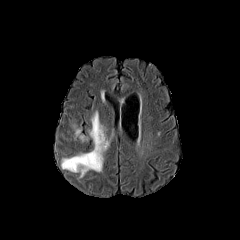
FLAIR MR.
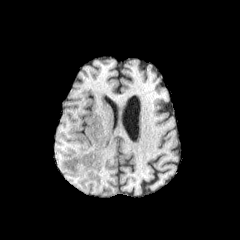
Same slice, T1-weighted MR.
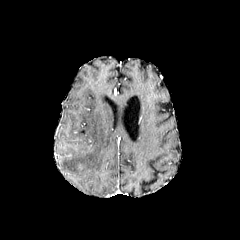
Post-contrast T1-weighted MR image.
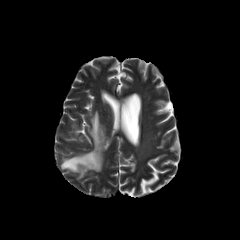
Same slice, T2-weighted MR.
Axial view, Brain, 240x240
2 peritumoral edema regions appear at {"x1": 61, "y1": 112, "x2": 110, "y2": 177}, {"x1": 72, "y1": 124, "x2": 84, "y2": 141}.